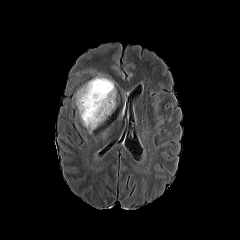
FLAIR MR.
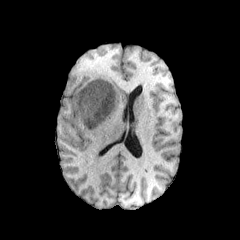
Same slice, T1-weighted MR image.
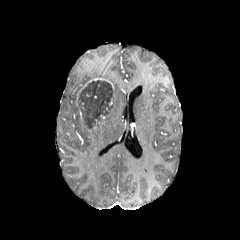
Post-contrast T1-weighted MR.
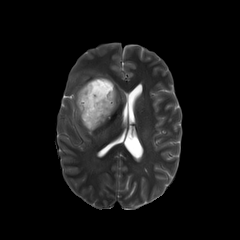
T2-weighted MR.
Brain
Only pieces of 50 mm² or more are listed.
The necrotic tumor core lies within left=79, top=80, right=114, bottom=127. The largest enhancing tumor region is bounded by left=83, top=77, right=114, bottom=90. The largest peritumoral edema region is at left=73, top=88, right=116, bottom=134.